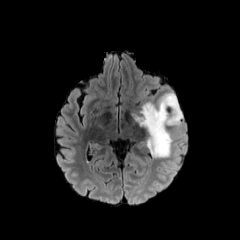
FLAIR MRI.
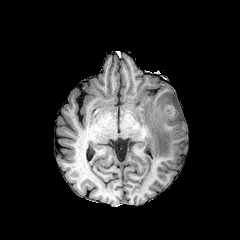
Same slice, T1-weighted magnetic resonance.
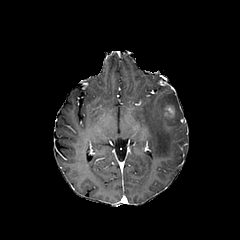
Post-contrast T1-weighted MRI of the same slice.
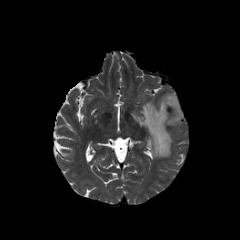
Same slice, T2-weighted magnetic resonance.
Image size 240x240 | Brain
Findings:
* enhancing tumor: x1=162, y1=104, x2=175, y2=118
* peritumoral edema: x1=130, y1=93, x2=183, y2=158